Image size 240x240; Slice 54 of 155; Brain
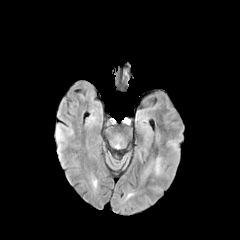
FLAIR MR.
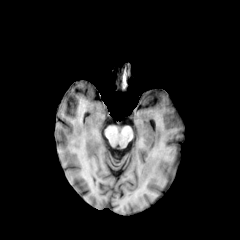
T1-weighted magnetic resonance of the same slice.
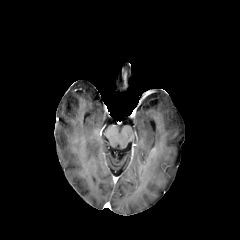
Same slice, post-contrast T1-weighted MRI.
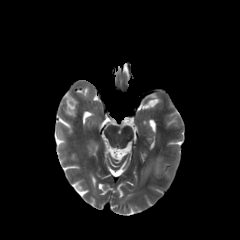
T2-weighted MR.
peritumoral edema = region(142, 157, 161, 177)